Brain. Slice 92/155.
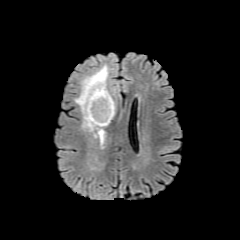
FLAIR MR image.
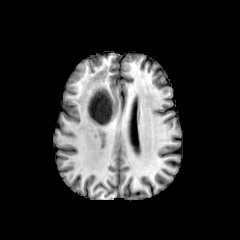
Same slice, T1-weighted MR.
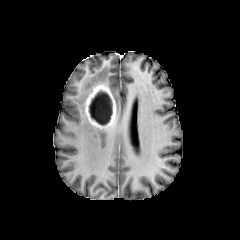
Post-contrast T1-weighted magnetic resonance.
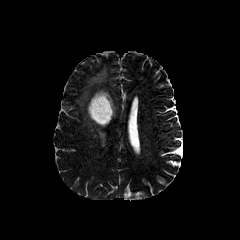
Same slice, T2-weighted MR.
necrotic tumor core: [89, 91, 112, 125] | peritumoral edema: [75, 65, 108, 141] | enhancing tumor: [85, 84, 116, 128]